FLAIR magnetic resonance.
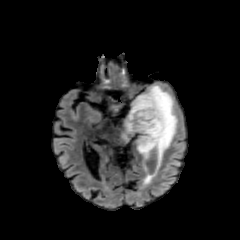
T1-weighted magnetic resonance.
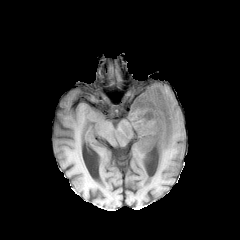
Post-contrast T1-weighted MRI.
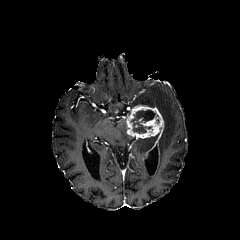
T2-weighted MRI.
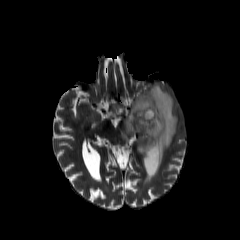
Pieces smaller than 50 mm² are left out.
{"necrotic_tumor_core": ["[x1=131, y1=109, x2=155, y2=132]"], "peritumoral_edema": ["[x1=131, y1=84, x2=177, y2=173]", "[x1=121, y1=110, x2=133, y2=141]", "[x1=132, y1=137, x2=157, y2=183]"], "enhancing_tumor": ["[x1=126, y1=104, x2=164, y2=176]"]}